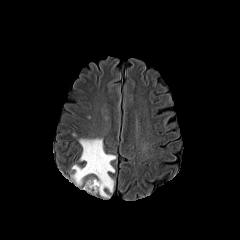
FLAIR MR.
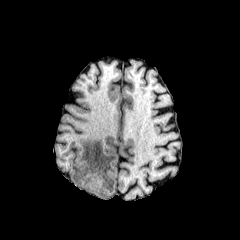
Same slice, T1-weighted MR image.
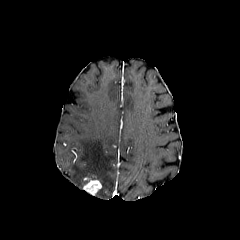
Post-contrast T1-weighted magnetic resonance of the same slice.
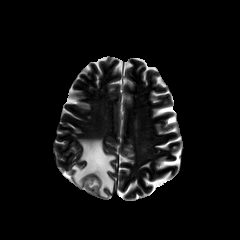
Same slice, T2-weighted MR image.
Brain.
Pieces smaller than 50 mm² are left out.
The enhancing tumor appears at [83, 179, 101, 195]. The largest peritumoral edema region lies within [71, 138, 116, 197].